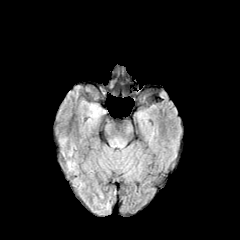
FLAIR MR.
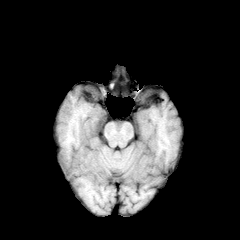
T1-weighted MR image of the same slice.
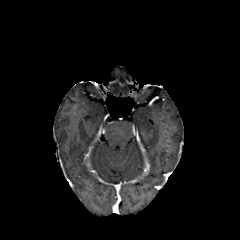
Post-contrast T1-weighted magnetic resonance.
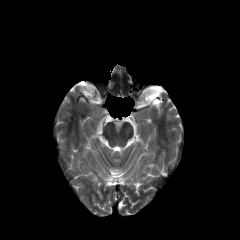
T2-weighted MR image.
Axial view; Brain
<segmentation>
  <peritumoral_edema>x1=67 y1=162 x2=75 y2=169</peritumoral_edema>
</segmentation>